FLAIR MRI.
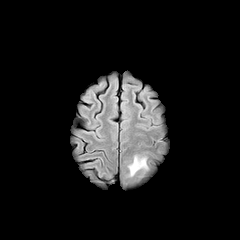
T1-weighted MR image.
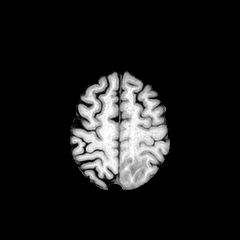
Post-contrast T1-weighted magnetic resonance.
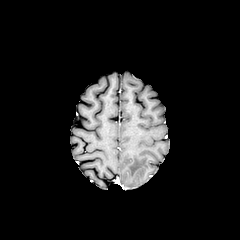
T2-weighted MRI.
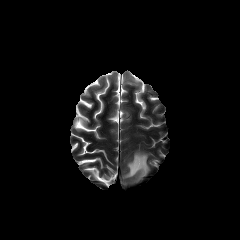
Brain.
Segmented structures:
• peritumoral edema: 128,155,148,176